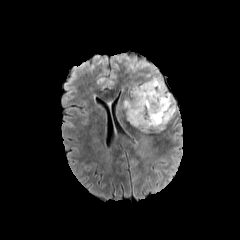
FLAIR MRI.
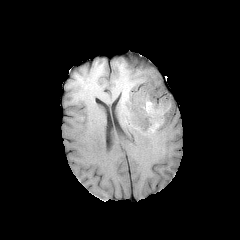
Same slice, T1-weighted MRI.
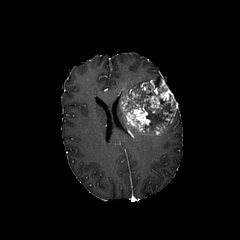
Post-contrast T1-weighted MR image.
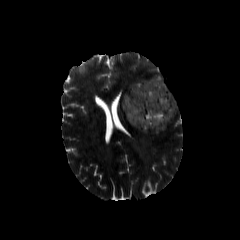
T2-weighted MR of the same slice.
Head
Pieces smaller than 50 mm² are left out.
enhancing tumor: bounding box 121 79 177 135
peritumoral edema: bounding box 144 69 161 81
necrotic tumor core: bounding box 134 87 173 130, 154 78 162 87